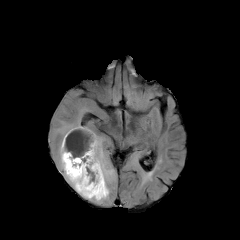
FLAIR MR image.
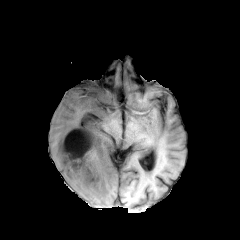
T1-weighted MRI.
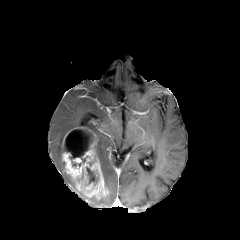
Post-contrast T1-weighted magnetic resonance.
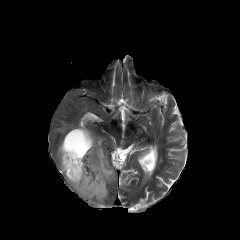
T2-weighted MR.
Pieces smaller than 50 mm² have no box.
enhancing tumor: <bbox>61, 127, 108, 200</bbox>
necrotic tumor core: <bbox>86, 167, 98, 184</bbox>, <bbox>63, 129, 93, 159</bbox>
peritumoral edema: <bbox>57, 120, 82, 171</bbox>, <bbox>63, 172, 75, 190</bbox>, <bbox>79, 193, 108, 203</bbox>, <bbox>95, 136, 114, 187</bbox>